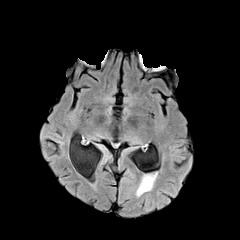
FLAIR MR.
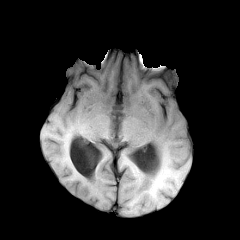
T1-weighted MR image.
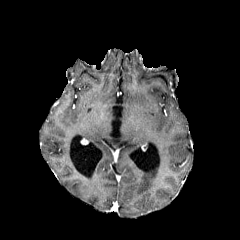
Post-contrast T1-weighted MR of the same slice.
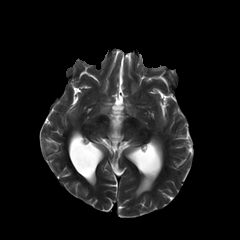
T2-weighted MRI of the same slice.
240x240 px | Head | Axial view
Segmented structures:
- peritumoral edema: l=136, t=172, r=157, b=196